Slice 109/155. Brain.
FLAIR MR image.
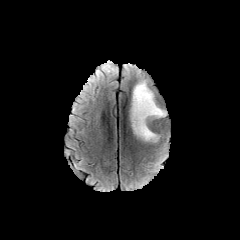
T1-weighted MRI.
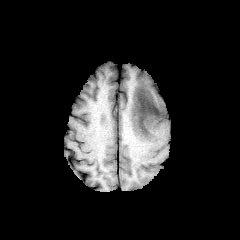
Post-contrast T1-weighted MRI.
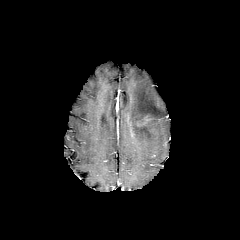
T2-weighted magnetic resonance.
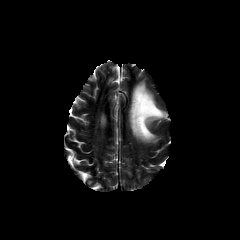
{"peritumoral_edema": ["[130, 80, 167, 142]"]}